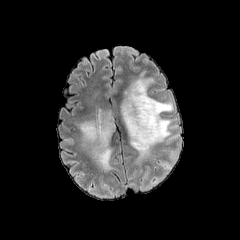
FLAIR MRI.
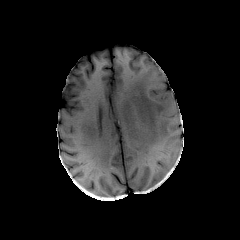
T1-weighted MRI.
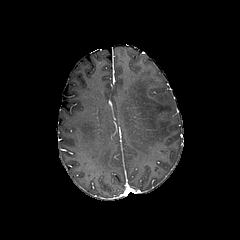
Post-contrast T1-weighted MRI.
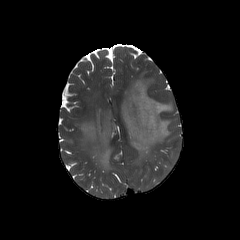
Same slice, T2-weighted MR.
Axial slice | Head
2 peritumoral edema regions appear at 121:72:173:160, 79:110:114:171.